Axial view | Head | Image size 240x240
FLAIR MR.
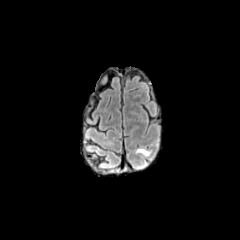
T1-weighted MR image.
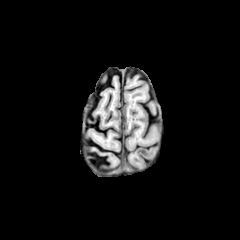
Post-contrast T1-weighted MRI.
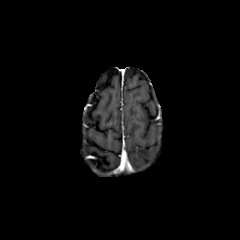
T2-weighted MR image.
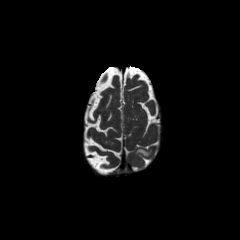
peritumoral edema — 136:148:151:156